FLAIR MR.
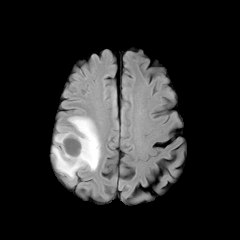
T1-weighted magnetic resonance.
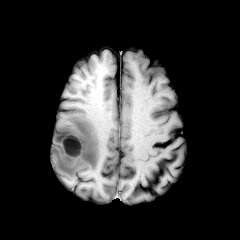
Post-contrast T1-weighted MR.
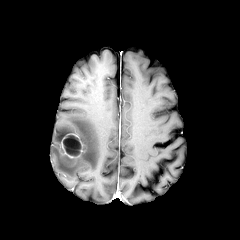
T2-weighted magnetic resonance.
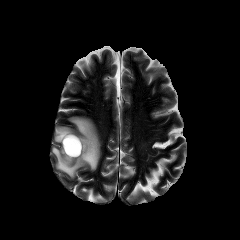
peritumoral edema: 52:116:100:179 | necrotic tumor core: 63:135:80:156 | enhancing tumor: 60:133:86:165